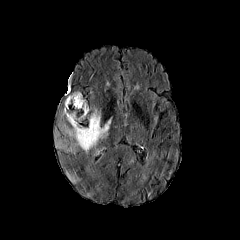
FLAIR MR image.
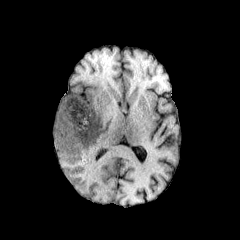
Same slice, T1-weighted MR.
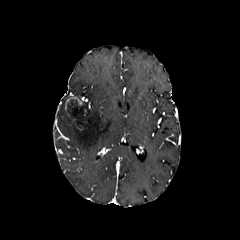
Post-contrast T1-weighted MRI.
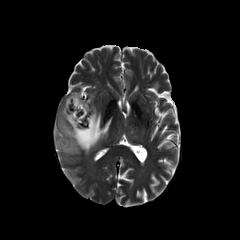
Same slice, T2-weighted MR image.
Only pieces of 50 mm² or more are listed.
necrotic tumor core — [67, 100, 87, 126]
peritumoral edema — [56, 106, 111, 153]
enhancing tumor — [65, 97, 83, 111]